240x240 | Axial plane
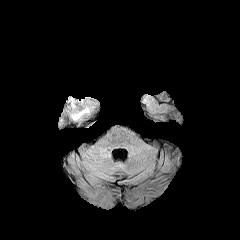
FLAIR MR image.
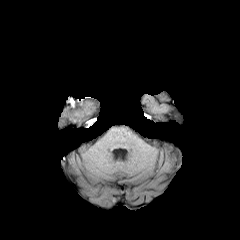
Same slice, T1-weighted MR.
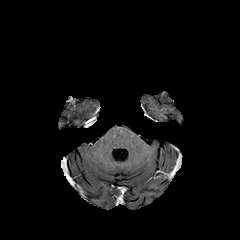
Post-contrast T1-weighted MR.
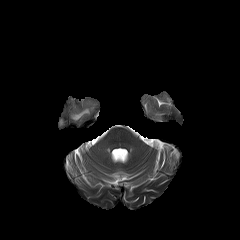
T2-weighted MR of the same slice.
Findings:
• peritumoral edema: x1=71, y1=108, x2=89, y2=120